Head | 240x240 px
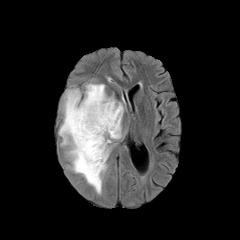
FLAIR MR.
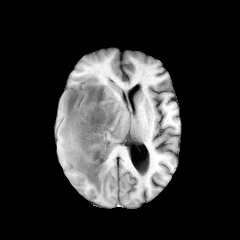
Same slice, T1-weighted magnetic resonance.
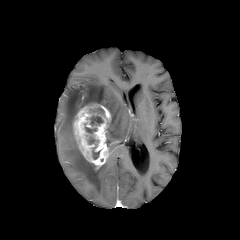
Same slice, post-contrast T1-weighted magnetic resonance.
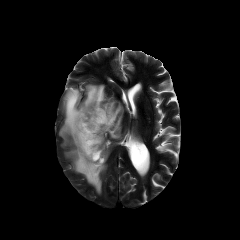
T2-weighted MR of the same slice.
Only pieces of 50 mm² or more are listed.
The peritumoral edema is located at <box>59,83,123,193</box>. The enhancing tumor is at <box>73,103,111,169</box>. The largest necrotic tumor core region lies within <box>90,115,103,125</box>.